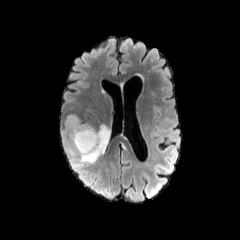
FLAIR magnetic resonance.
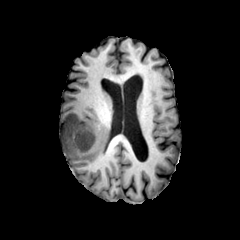
T1-weighted MR.
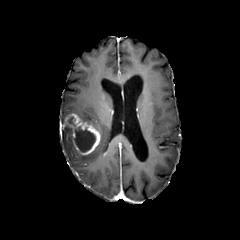
Post-contrast T1-weighted MRI of the same slice.
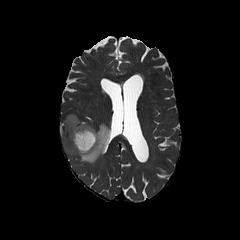
T2-weighted MRI.
Brain, Axial plane
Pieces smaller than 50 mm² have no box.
2 necrotic tumor core regions appear at <bbox>74, 124, 96, 151</bbox>, <bbox>68, 116, 76, 126</bbox>. The enhancing tumor lies within <bbox>60, 113, 101, 155</bbox>. The largest peritumoral edema region appears at <bbox>61, 124, 111, 166</bbox>.